Image size 240x240 | Axial slice | Brain | Slice 82 of 155
FLAIR MRI.
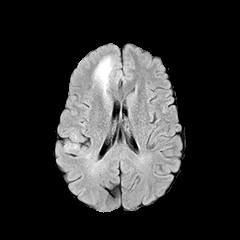
T1-weighted magnetic resonance.
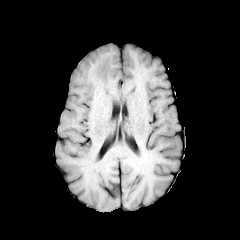
Post-contrast T1-weighted MR image.
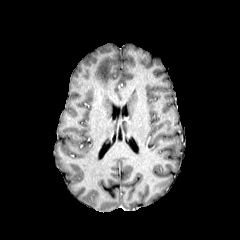
T2-weighted MR image.
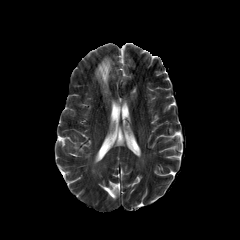
peritumoral edema: bounding box 95 57 113 95